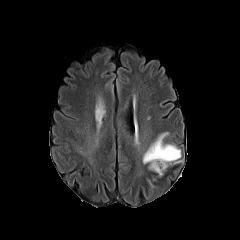
FLAIR MR.
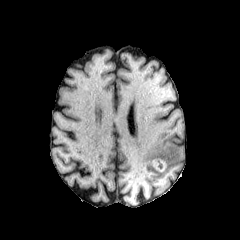
T1-weighted MR image of the same slice.
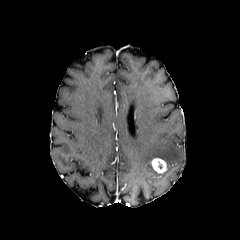
Post-contrast T1-weighted MRI.
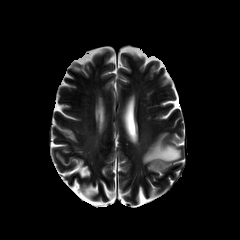
T2-weighted magnetic resonance.
240x240 px
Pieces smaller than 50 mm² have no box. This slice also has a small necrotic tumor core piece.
The enhancing tumor lies within l=151, t=158, r=166, b=173. The largest peritumoral edema region is at l=142, t=132, r=182, b=170.